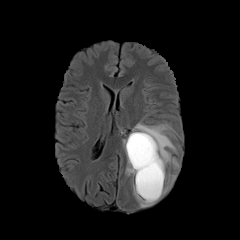
FLAIR MR.
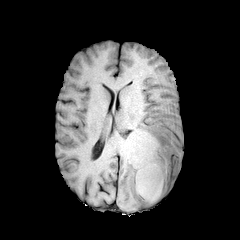
Same slice, T1-weighted magnetic resonance.
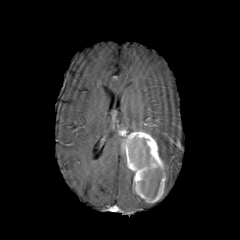
Post-contrast T1-weighted MR of the same slice.
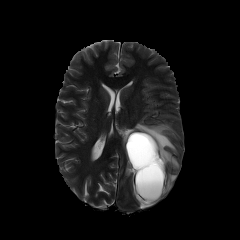
T2-weighted magnetic resonance of the same slice.
240x240, Axial plane, Head
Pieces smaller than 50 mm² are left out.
enhancing tumor: [124,131,166,203]
peritumoral edema: [133,190,154,207], [125,166,134,189], [132,122,179,194]
necrotic tumor core: [126,135,161,198]